FLAIR MRI.
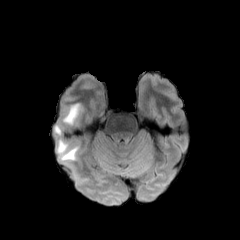
T1-weighted MRI.
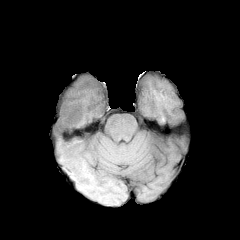
Post-contrast T1-weighted MRI.
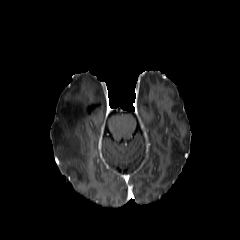
T2-weighted MR image.
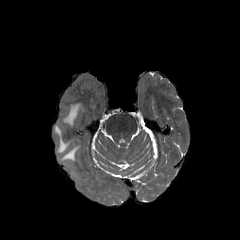
Image size 240x240
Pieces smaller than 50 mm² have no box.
Segmented structures:
* peritumoral edema: 54:124:79:165, 62:103:83:125